240x240 | Axial plane | Slice index 48 | Brain
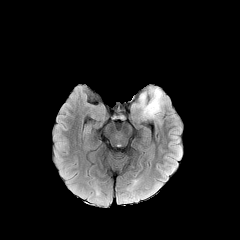
FLAIR MR.
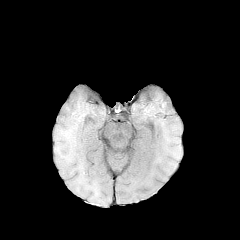
T1-weighted MR of the same slice.
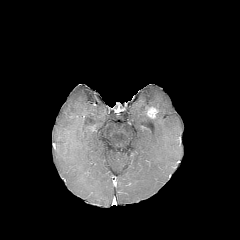
Post-contrast T1-weighted MR.
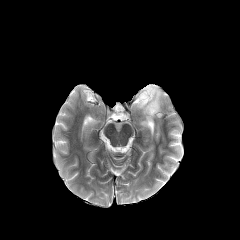
T2-weighted MR.
peritumoral edema: 133 87 165 118 | enhancing tumor: 147 107 157 118